240x240.
FLAIR MRI.
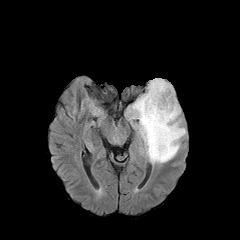
T1-weighted MR.
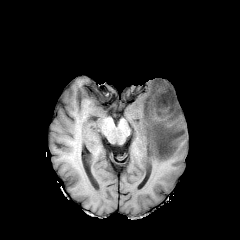
Post-contrast T1-weighted magnetic resonance.
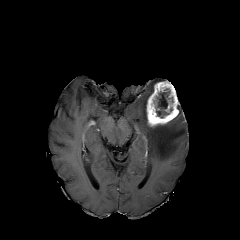
T2-weighted magnetic resonance.
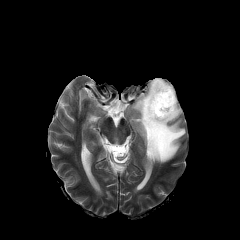
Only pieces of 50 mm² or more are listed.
The necrotic tumor core is at 156 91 169 117. The largest peritumoral edema region is located at 127 78 186 164. The enhancing tumor is at 146 81 179 127.